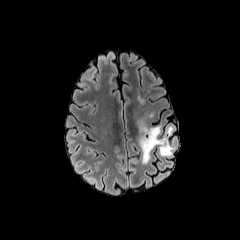
FLAIR magnetic resonance.
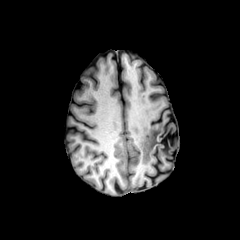
Same slice, T1-weighted magnetic resonance.
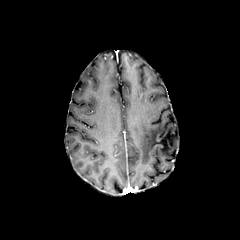
Post-contrast T1-weighted MR image.
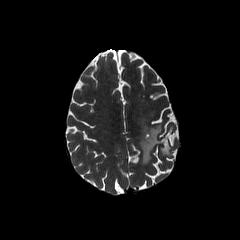
T2-weighted magnetic resonance of the same slice.
Axial slice; Head
peritumoral edema at bbox(139, 123, 174, 163)